Brain.
FLAIR MR.
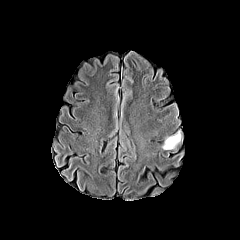
T1-weighted MR.
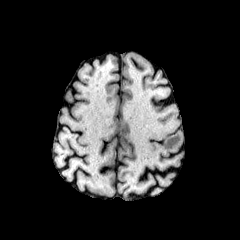
Post-contrast T1-weighted MR.
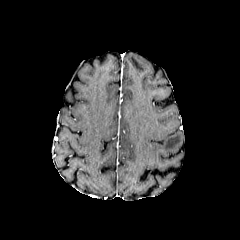
T2-weighted MR image.
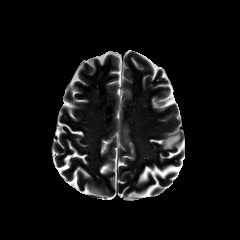
peritumoral edema — x1=162, y1=131, x2=181, y2=149